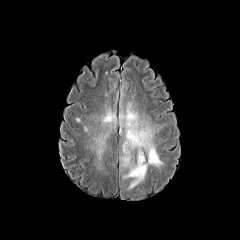
FLAIR MR.
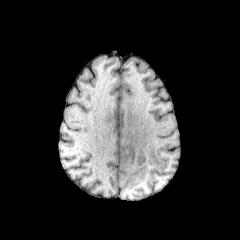
T1-weighted MR image of the same slice.
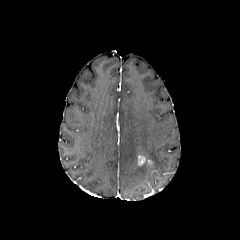
Post-contrast T1-weighted MR image.
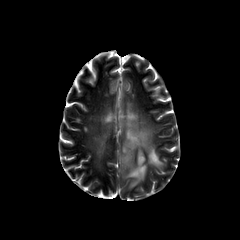
T2-weighted MR of the same slice.
enhancing tumor: (left=137, top=152, right=152, bottom=165) | peritumoral edema: (left=84, top=78, right=165, bottom=190)